FLAIR MR image.
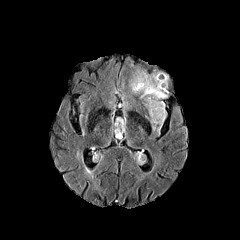
T1-weighted MRI.
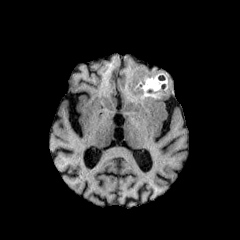
Post-contrast T1-weighted MR image.
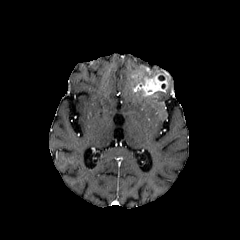
T2-weighted MR image.
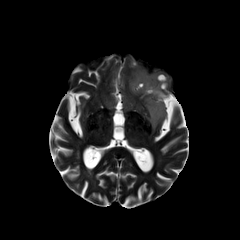
Axial plane
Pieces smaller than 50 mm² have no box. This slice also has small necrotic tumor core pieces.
peritumoral edema: (142,70,162,77), (130,78,168,132)
enhancing tumor: (132,69,169,95)